240x240 px
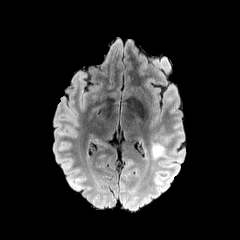
FLAIR MRI.
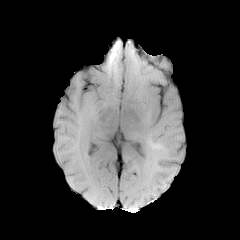
T1-weighted MR image.
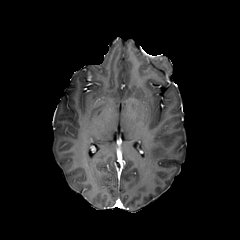
Same slice, post-contrast T1-weighted MR image.
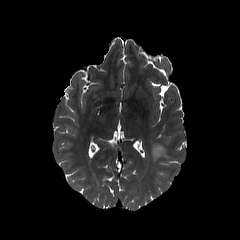
T2-weighted MR image.
<segmentation>
  <peritumoral_edema>box(151, 144, 167, 160)</peritumoral_edema>
</segmentation>